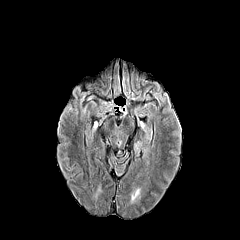
FLAIR MR image.
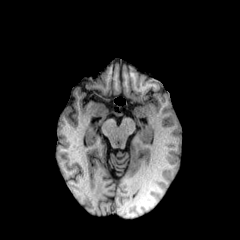
Same slice, T1-weighted MR.
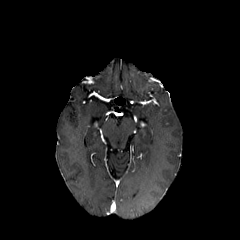
Post-contrast T1-weighted MR.
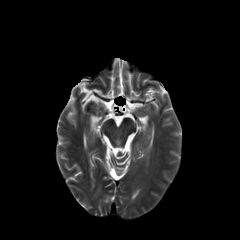
T2-weighted MRI.
Brain
<segmentation>
  <peritumoral_edema>bbox(131, 189, 139, 200)</peritumoral_edema>
</segmentation>